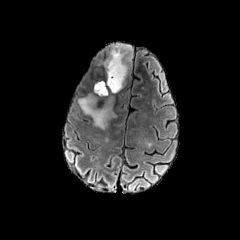
FLAIR magnetic resonance.
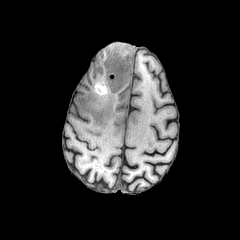
T1-weighted MR.
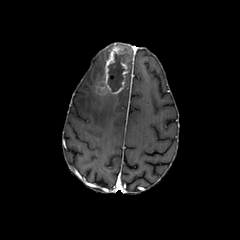
Post-contrast T1-weighted magnetic resonance.
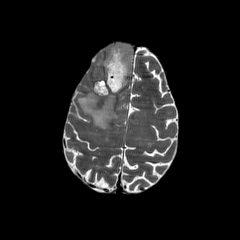
Same slice, T2-weighted MR image.
Head
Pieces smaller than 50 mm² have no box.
Segmented structures:
- enhancing tumor: 96, 44, 132, 94
- peritumoral edema: 77, 81, 115, 129
- necrotic tumor core: 108, 53, 128, 91